FLAIR MR.
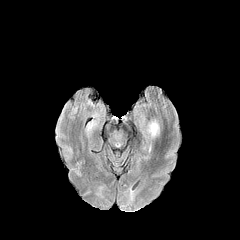
T1-weighted magnetic resonance.
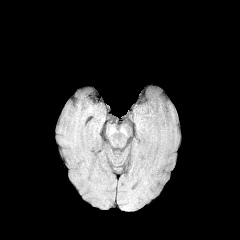
Post-contrast T1-weighted MR image.
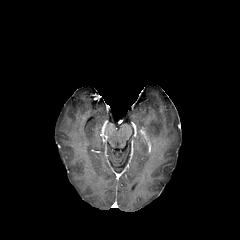
T2-weighted MR.
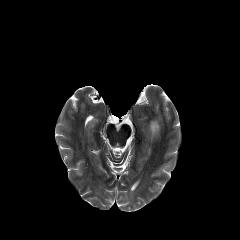
Head. Axial plane.
peritumoral edema at 147,119,159,138